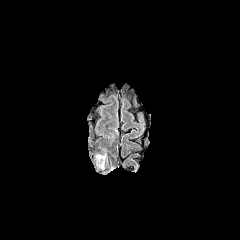
FLAIR MR image.
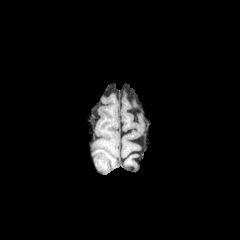
Same slice, T1-weighted MR image.
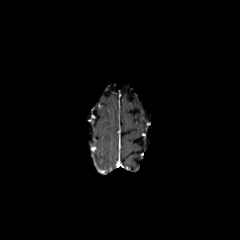
Post-contrast T1-weighted MRI.
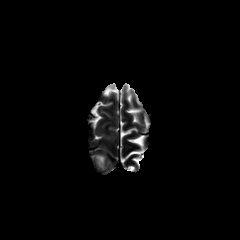
Same slice, T2-weighted magnetic resonance.
Axial view. Head.
peritumoral edema at [x1=96, y1=154, x2=106, y2=164]